Slice 71 of 155. Image width 240 mm.
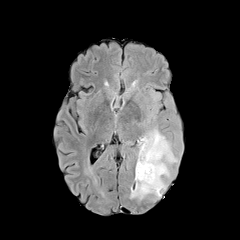
FLAIR MR.
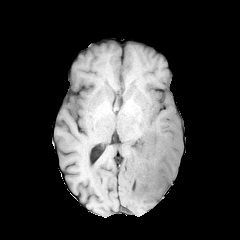
T1-weighted MR.
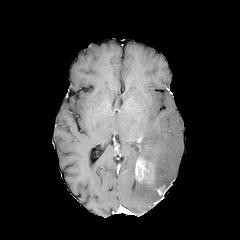
Same slice, post-contrast T1-weighted MRI.
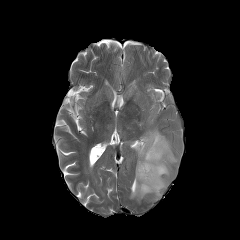
T2-weighted MR.
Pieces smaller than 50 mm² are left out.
The peritumoral edema lies within [x1=130, y1=127, x2=177, y2=200]. The largest enhancing tumor region is bounded by [x1=135, y1=158, x2=154, y2=184].